Slice 99/155 | Head
FLAIR MR image.
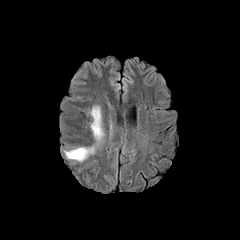
T1-weighted MR image.
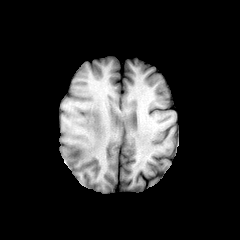
Post-contrast T1-weighted MRI.
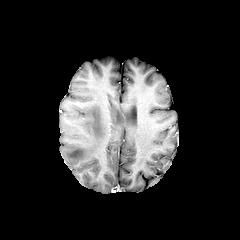
T2-weighted magnetic resonance.
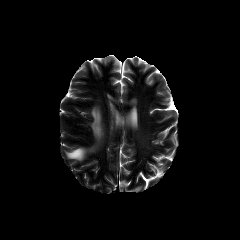
2 peritumoral edema regions appear at <box>65,147,94,161</box>, <box>91,107,103,140</box>.